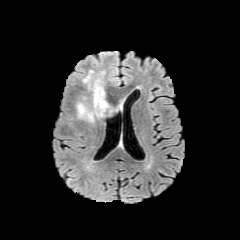
FLAIR MR.
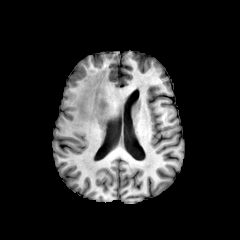
Same slice, T1-weighted magnetic resonance.
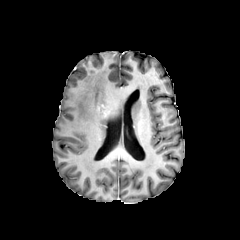
Post-contrast T1-weighted MR image.
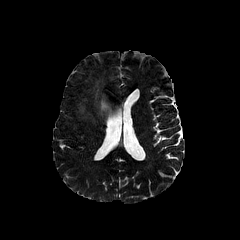
T2-weighted MRI.
Axial slice. Head.
enhancing tumor — box=[97, 103, 109, 117]
peritumoral edema — box=[77, 71, 107, 122]